Axial view, Slice 85 of 155
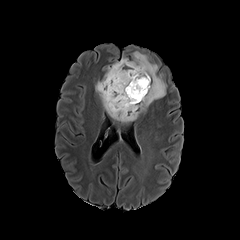
FLAIR magnetic resonance.
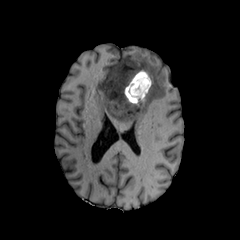
Same slice, T1-weighted MRI.
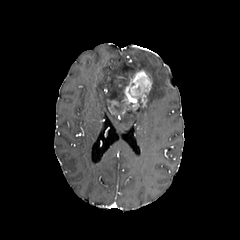
Post-contrast T1-weighted MR image of the same slice.
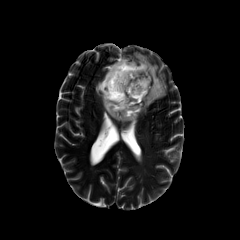
Same slice, T2-weighted MRI.
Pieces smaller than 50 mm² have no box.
- peritumoral edema: (x1=95, y1=51, x2=167, y2=125)
- enhancing tumor: (x1=121, y1=70, x2=151, y2=115), (x1=107, y1=99, x2=119, y2=115)
- necrotic tumor core: (x1=104, y1=62, x2=134, y2=117)